FLAIR MR.
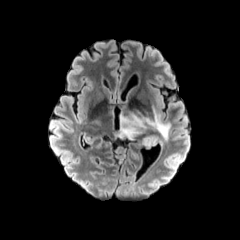
T1-weighted MRI.
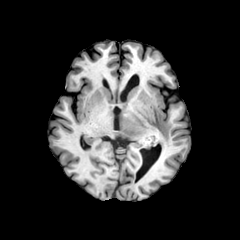
Post-contrast T1-weighted magnetic resonance.
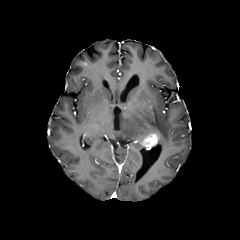
T2-weighted MR.
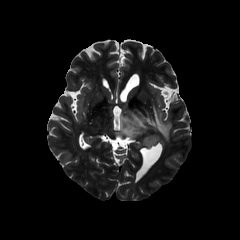
Brain.
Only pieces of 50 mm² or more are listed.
Findings:
* peritumoral edema: {"x1": 117, "y1": 106, "x2": 171, "y2": 141}
* enhancing tumor: {"x1": 141, "y1": 133, "x2": 158, "y2": 149}